FLAIR MR.
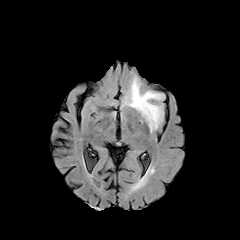
T1-weighted magnetic resonance.
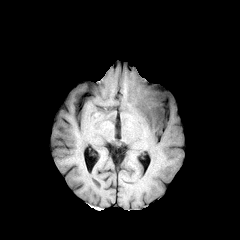
Post-contrast T1-weighted MR image.
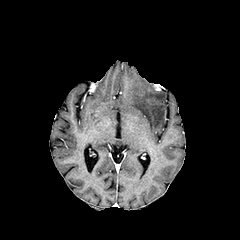
T2-weighted MRI.
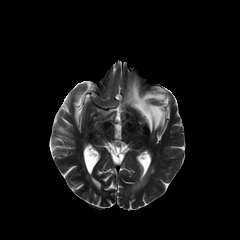
Axial plane; Brain
Findings:
* peritumoral edema: x1=125 y1=78 x2=164 y2=132